FLAIR MRI.
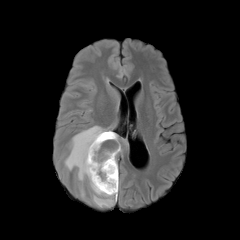
T1-weighted MRI.
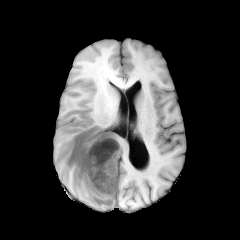
Post-contrast T1-weighted MR.
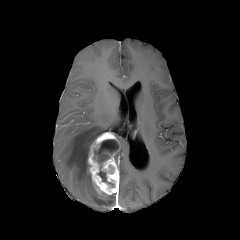
T2-weighted MR image.
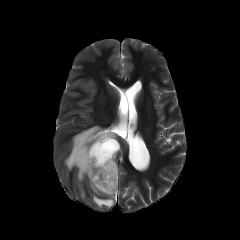
240x240 px
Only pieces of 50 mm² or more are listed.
- peritumoral edema: (left=64, top=125, right=116, bottom=207)
- necrotic tumor core: (left=98, top=171, right=113, bottom=186), (left=94, top=139, right=119, bottom=162)
- enhancing tumor: (left=87, top=131, right=120, bottom=196)